Image width 240 mm, 1.00 mm slice spacing. Axial slice.
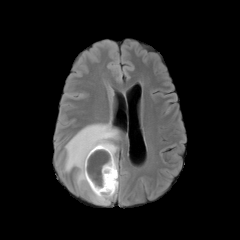
FLAIR magnetic resonance.
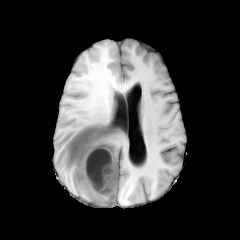
T1-weighted MR.
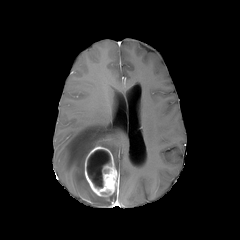
Post-contrast T1-weighted magnetic resonance.
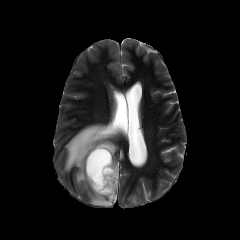
T2-weighted MRI.
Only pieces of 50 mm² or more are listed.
enhancing tumor: 85, 146, 118, 196
peritumoral edema: 64, 122, 118, 205
necrotic tumor core: 87, 150, 110, 187